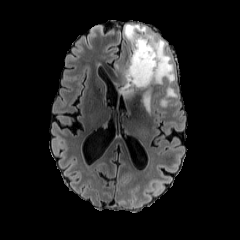
FLAIR MRI.
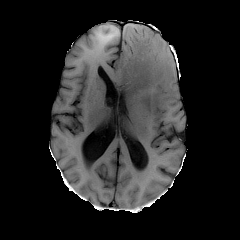
Same slice, T1-weighted MR.
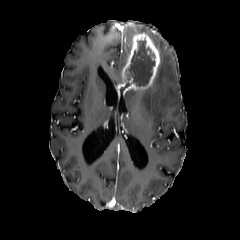
Post-contrast T1-weighted MR image of the same slice.
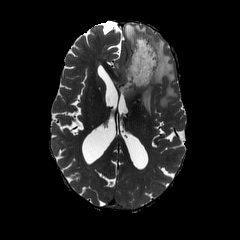
Same slice, T2-weighted magnetic resonance.
Axial slice; Head
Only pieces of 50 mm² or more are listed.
necrotic tumor core: bbox=[127, 40, 155, 86]
peritumoral edema: bbox=[123, 23, 177, 115]
enhancing tumor: bbox=[121, 31, 161, 91]